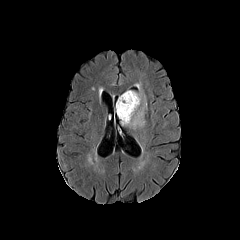
FLAIR magnetic resonance.
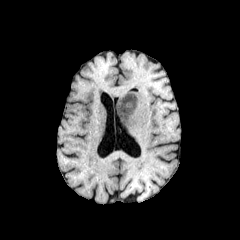
T1-weighted MR.
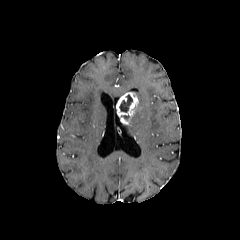
Post-contrast T1-weighted MR.
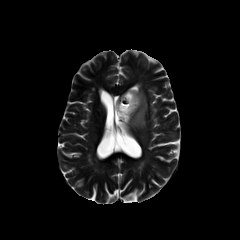
T2-weighted MRI of the same slice.
Brain; Axial slice
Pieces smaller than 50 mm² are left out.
peritumoral_edema:
  - rect(129, 83, 146, 128)
necrotic_tumor_core:
  - rect(119, 94, 132, 112)
enhancing_tumor:
  - rect(116, 92, 138, 124)